Image size 240x240
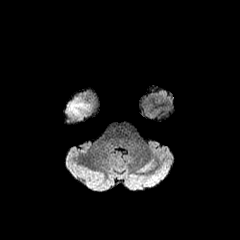
FLAIR MRI.
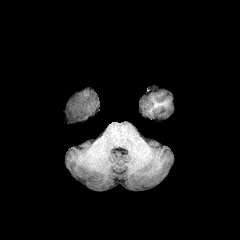
T1-weighted MR image.
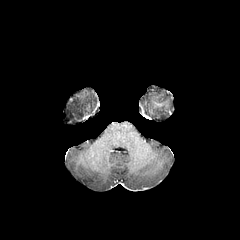
Post-contrast T1-weighted MR.
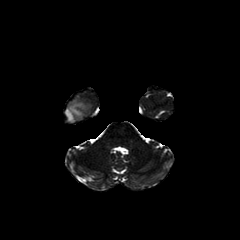
Same slice, T2-weighted MR.
peritumoral edema at [x1=64, y1=101, x2=87, y2=123]